Slice 95/155 | Brain
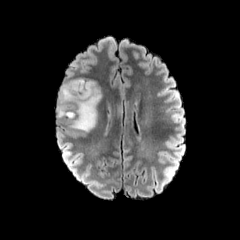
FLAIR MR image.
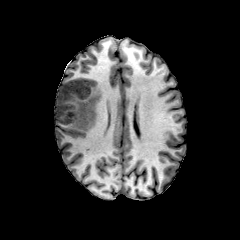
T1-weighted MRI.
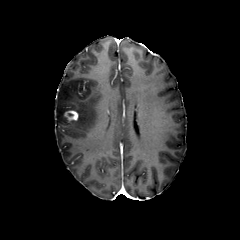
Post-contrast T1-weighted MR.
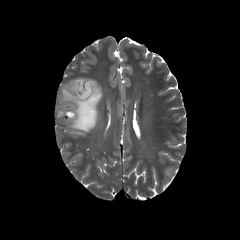
T2-weighted MR image.
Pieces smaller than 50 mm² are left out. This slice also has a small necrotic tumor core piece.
enhancing tumor: [63,110,78,121] | peritumoral edema: [56,78,101,131]